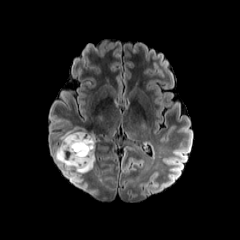
FLAIR MR.
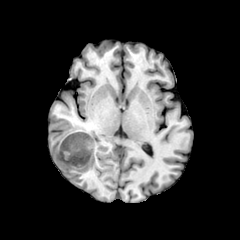
T1-weighted MR.
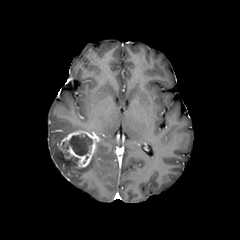
Post-contrast T1-weighted magnetic resonance.
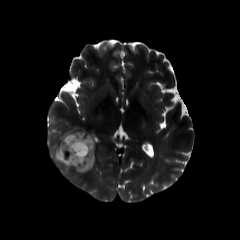
T2-weighted MRI.
Head | Image size 240x240
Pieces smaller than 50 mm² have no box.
<segmentation>
  <necrotic_tumor_core>(left=62, top=134, right=92, bottom=155)</necrotic_tumor_core>
  <enhancing_tumor>(left=59, top=131, right=96, bottom=167)</enhancing_tumor>
  <peritumoral_edema>(left=54, top=145, right=94, bottom=172), (left=60, top=127, right=85, bottom=140)</peritumoral_edema>
</segmentation>